Slice 74 of 155. Brain. Axial slice.
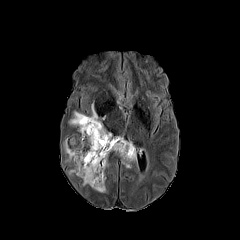
FLAIR MR image.
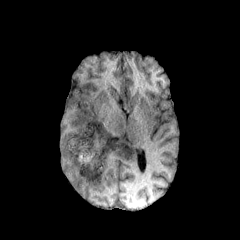
T1-weighted MR.
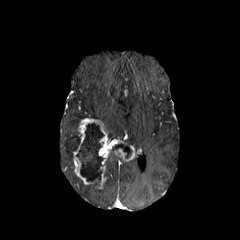
Post-contrast T1-weighted MRI.
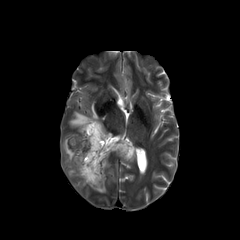
T2-weighted magnetic resonance of the same slice.
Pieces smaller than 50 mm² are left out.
enhancing tumor: bounding box box=[73, 118, 136, 188]
peritumoral edema: bounding box box=[90, 183, 106, 192]; box=[64, 137, 80, 161]; box=[69, 104, 99, 126]
necrotic tumor core: bounding box box=[112, 143, 131, 158]; box=[76, 123, 103, 181]